FLAIR MRI.
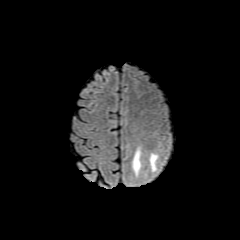
T1-weighted MRI.
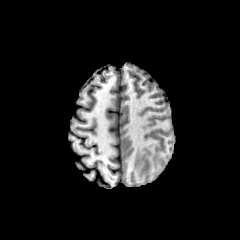
Post-contrast T1-weighted magnetic resonance.
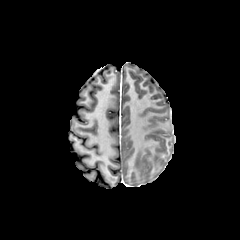
T2-weighted MRI.
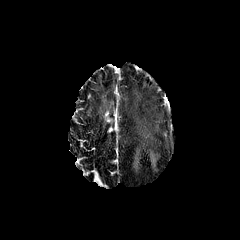
Findings:
- peritumoral edema: l=149, t=152, r=158, b=171; l=132, t=147, r=141, b=176